Axial slice. Slice 33/155.
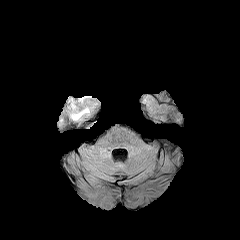
FLAIR magnetic resonance.
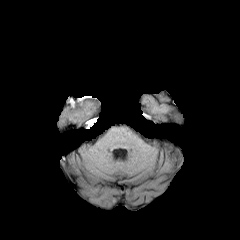
Same slice, T1-weighted MRI.
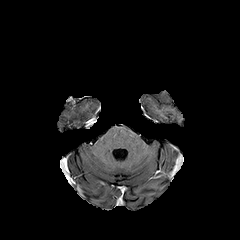
Post-contrast T1-weighted MR.
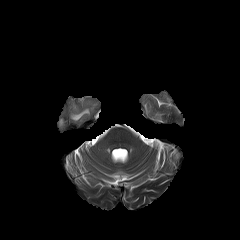
T2-weighted MR.
peritumoral edema: (left=70, top=107, right=89, bottom=120)